FLAIR MRI.
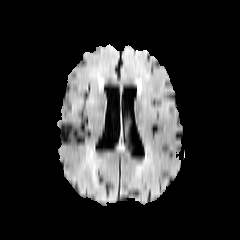
T1-weighted MR image.
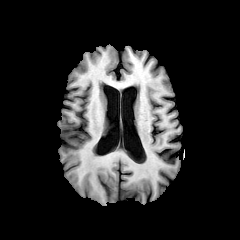
Post-contrast T1-weighted MR.
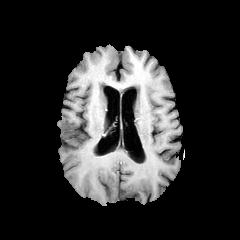
T2-weighted MRI.
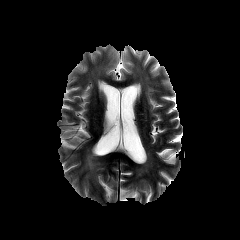
peritumoral edema: [x1=86, y1=153, x2=95, y2=179]